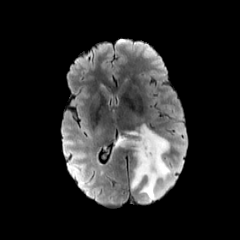
FLAIR magnetic resonance.
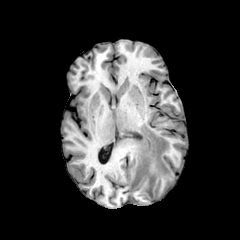
T1-weighted MR.
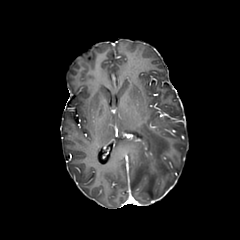
Post-contrast T1-weighted MR image of the same slice.
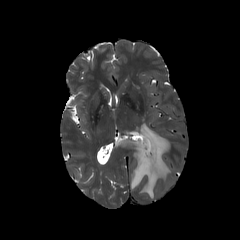
Same slice, T2-weighted MRI.
Head
peritumoral edema — 117, 124, 170, 199